FLAIR MR.
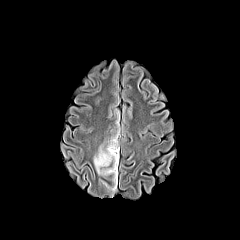
T1-weighted magnetic resonance.
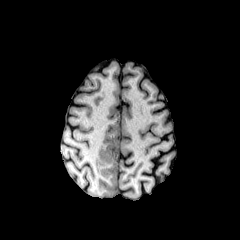
Post-contrast T1-weighted MRI.
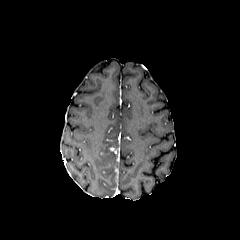
T2-weighted MRI.
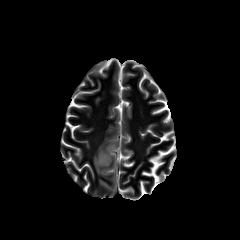
Findings:
* peritumoral edema: [94,130,119,182]